Slice 61 of 155, 240x240, Image width 240 mm, 1.00 mm slice spacing, Brain
FLAIR MR.
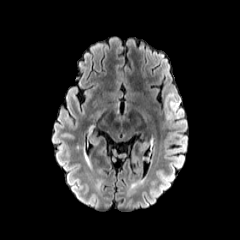
T1-weighted MRI.
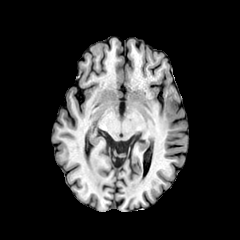
Post-contrast T1-weighted MR image.
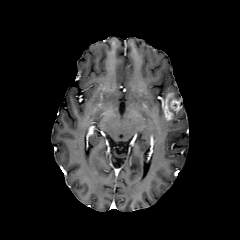
T2-weighted magnetic resonance.
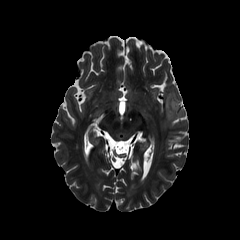
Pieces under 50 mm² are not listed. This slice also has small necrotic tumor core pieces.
enhancing tumor — box(163, 92, 181, 120)
peritumoral edema — box(176, 108, 184, 124); box(163, 119, 175, 126); box(167, 87, 180, 99)